FLAIR magnetic resonance.
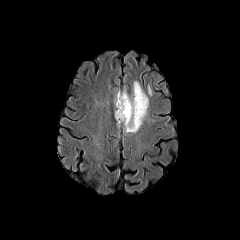
T1-weighted MR.
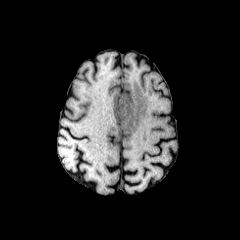
Post-contrast T1-weighted MRI.
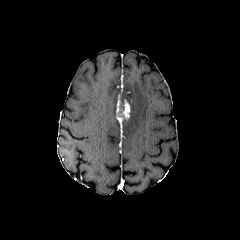
T2-weighted MRI.
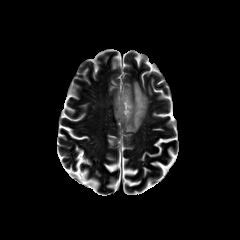
Axial view
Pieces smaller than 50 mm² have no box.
{
  "enhancing_tumor": [
    "left=116, top=94, right=130, bottom=122"
  ],
  "peritumoral_edema": [
    "left=121, top=81, right=148, bottom=132"
  ]
}